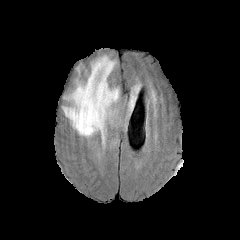
FLAIR MRI.
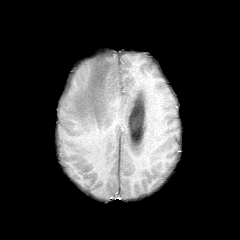
Same slice, T1-weighted magnetic resonance.
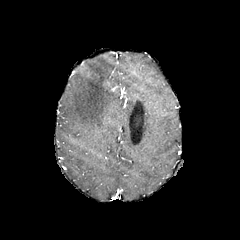
Post-contrast T1-weighted MR.
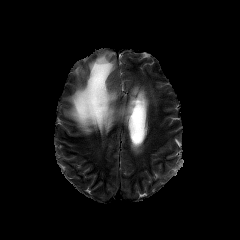
T2-weighted MR.
Axial view
peritumoral edema — (63,56,141,145)